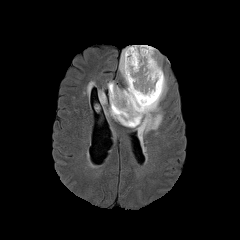
FLAIR MR image.
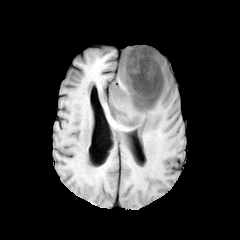
T1-weighted MR image.
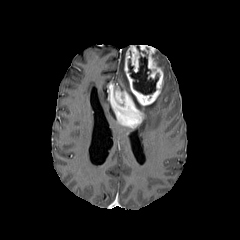
Post-contrast T1-weighted MR of the same slice.
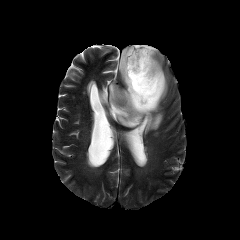
Same slice, T2-weighted MR image.
240x240
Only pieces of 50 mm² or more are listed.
{"necrotic_tumor_core": ["(128,51,158,94)"], "enhancing_tumor": ["(108,45,163,128)"], "peritumoral_edema": ["(99,91,106,105)", "(119,47,128,90)", "(105,104,116,121)", "(134,74,167,142)", "(155,50,161,68)"]}